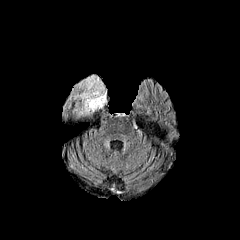
FLAIR MR image.
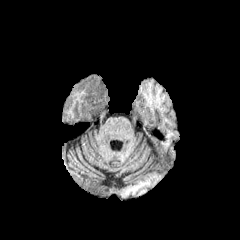
Same slice, T1-weighted MR image.
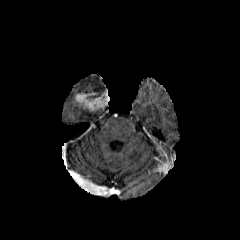
Post-contrast T1-weighted MRI.
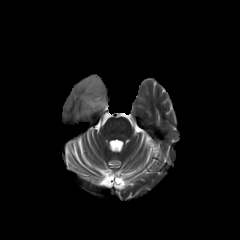
T2-weighted MR of the same slice.
Brain
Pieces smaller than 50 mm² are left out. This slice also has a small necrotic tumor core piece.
The enhancing tumor is located at 75 92 108 111. The largest peritumoral edema region appears at 77 75 105 92.